Slice index 41.
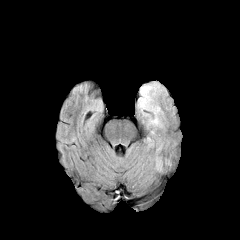
FLAIR MR.
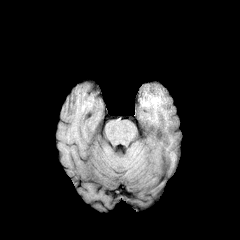
Same slice, T1-weighted magnetic resonance.
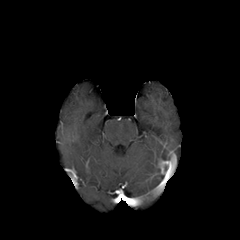
Post-contrast T1-weighted MRI.
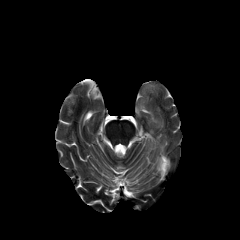
T2-weighted MR image.
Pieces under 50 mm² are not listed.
peritumoral edema at (x1=136, y1=81, x2=166, y2=123)
enhancing tumor at (x1=158, y1=159, x2=171, y2=172)